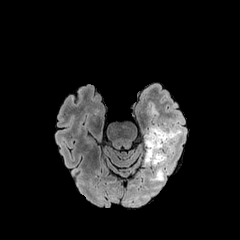
FLAIR magnetic resonance.
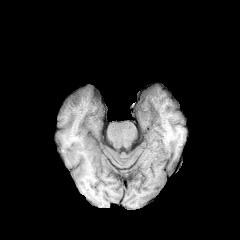
T1-weighted MR of the same slice.
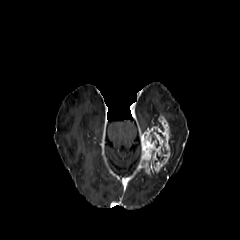
Same slice, post-contrast T1-weighted magnetic resonance.
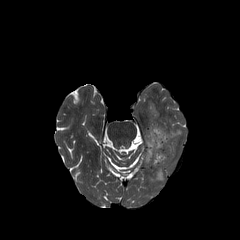
T2-weighted MR image of the same slice.
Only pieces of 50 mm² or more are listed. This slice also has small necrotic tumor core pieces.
Segmented structures:
- peritumoral edema: region(167, 120, 182, 154); region(150, 107, 159, 119); region(150, 167, 163, 182)
- enhancing tumor: region(142, 116, 170, 174)